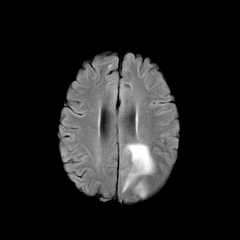
FLAIR MR image.
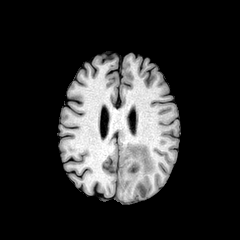
T1-weighted MR image.
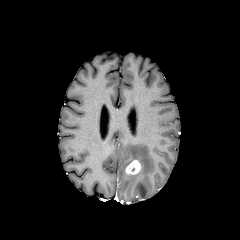
Post-contrast T1-weighted MR image.
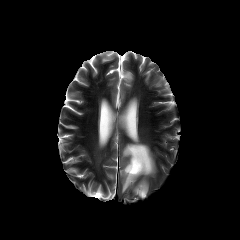
T2-weighted MRI.
240x240 px
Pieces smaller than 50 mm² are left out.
peritumoral_edema:
  - left=121, top=143, right=154, bottom=191
  - left=135, top=182, right=147, bottom=197
enhancing_tumor:
  - left=125, top=160, right=141, bottom=174